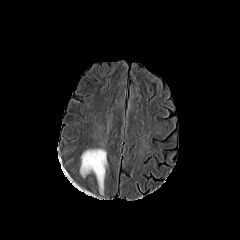
FLAIR MR image.
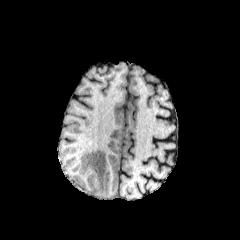
T1-weighted MRI.
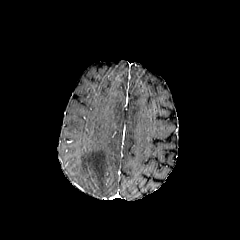
Post-contrast T1-weighted MRI of the same slice.
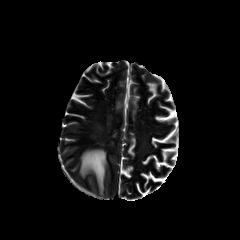
T2-weighted magnetic resonance of the same slice.
peritumoral edema: bounding box rect(80, 148, 107, 194)